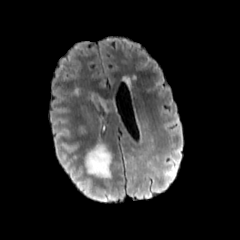
FLAIR MRI.
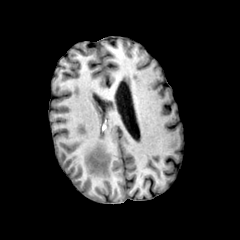
T1-weighted MR image.
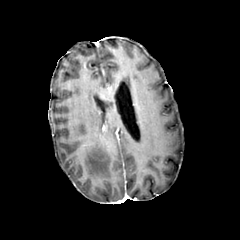
Same slice, post-contrast T1-weighted MRI.
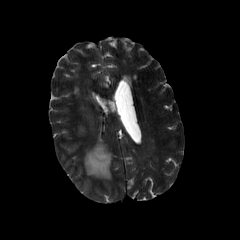
T2-weighted MR image of the same slice.
Head. Axial view.
peritumoral edema — left=85, top=144, right=111, bottom=178